FLAIR MR.
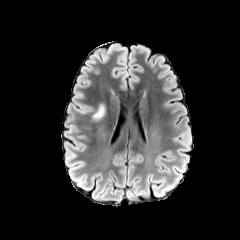
T1-weighted magnetic resonance.
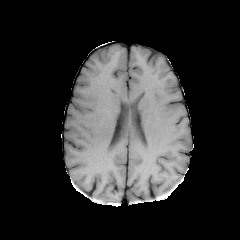
Post-contrast T1-weighted MR.
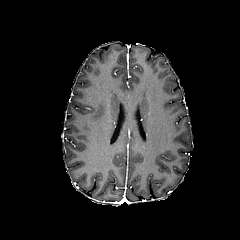
T2-weighted MRI.
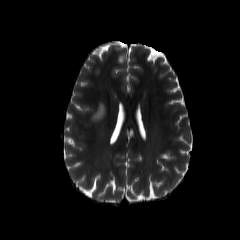
Head
peritumoral_edema:
  - [92, 104, 105, 120]